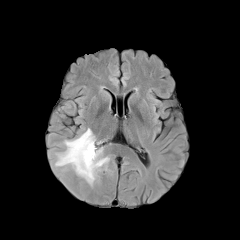
FLAIR MR.
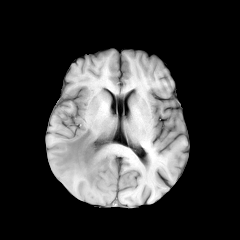
T1-weighted MR image.
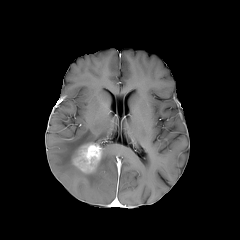
Post-contrast T1-weighted MR image.
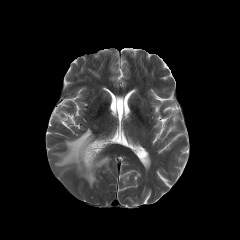
T2-weighted MR image of the same slice.
240x240 | Axial plane
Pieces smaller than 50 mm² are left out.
enhancing tumor — (71, 141, 101, 172)
peritumoral edema — (55, 128, 109, 185)